FLAIR MRI.
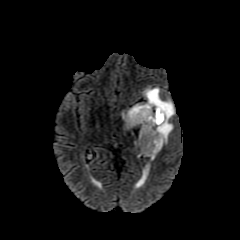
T1-weighted magnetic resonance.
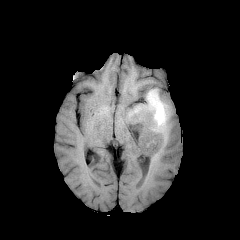
Post-contrast T1-weighted MR.
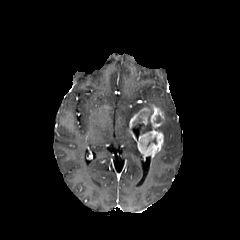
T2-weighted magnetic resonance.
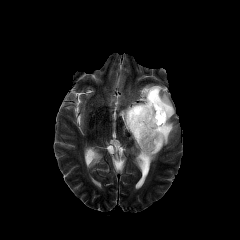
Image size 240x240, Axial slice, Head
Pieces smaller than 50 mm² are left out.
The largest peritumoral edema region is located at [120, 85, 175, 145]. The largest necrotic tumor core region is at [132, 111, 145, 123]. 2 enhancing tumor regions appear at [130, 105, 164, 158], [129, 107, 150, 128].